Axial slice. Image width 240 mm. Head. Image size 240x240.
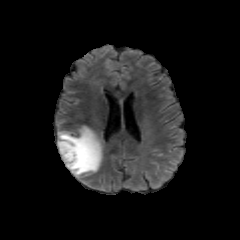
FLAIR magnetic resonance.
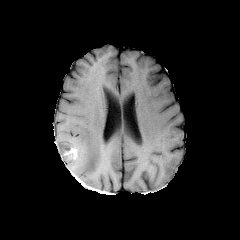
T1-weighted MRI.
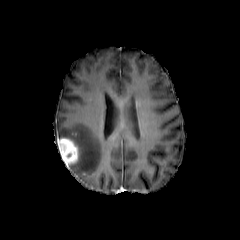
Post-contrast T1-weighted magnetic resonance of the same slice.
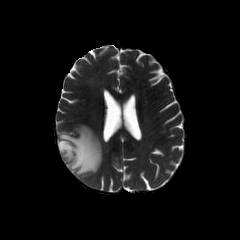
T2-weighted MR.
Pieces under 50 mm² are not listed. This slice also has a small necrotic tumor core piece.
The peritumoral edema is located at 58, 126, 102, 177. The enhancing tumor lies within 58, 137, 79, 166.